Brain. Image width 240 mm. Slice index 76.
FLAIR MRI.
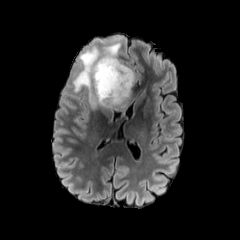
T1-weighted magnetic resonance.
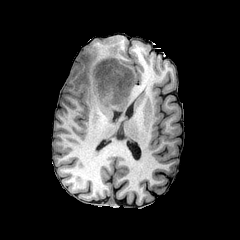
Post-contrast T1-weighted MR image.
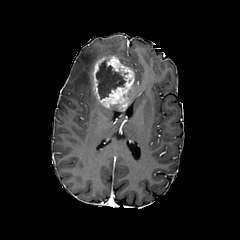
T2-weighted MRI.
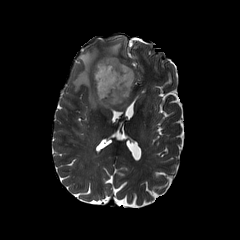
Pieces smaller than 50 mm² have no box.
The largest peritumoral edema region lies within rect(73, 43, 120, 107). The enhancing tumor appears at rect(92, 56, 134, 109). The necrotic tumor core lies within rect(96, 60, 125, 99).